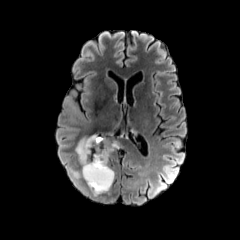
FLAIR MRI.
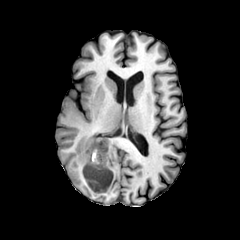
T1-weighted MR image.
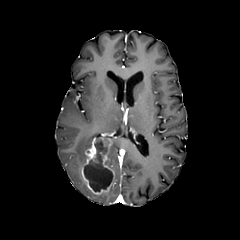
Post-contrast T1-weighted MR of the same slice.
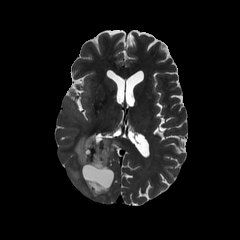
T2-weighted MR image.
240x240 px; Axial plane
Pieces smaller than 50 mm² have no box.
enhancing tumor: bbox=[81, 137, 114, 194] | peritumoral edema: bbox=[108, 142, 118, 159]; bbox=[64, 90, 91, 124]; bbox=[75, 134, 98, 165] | necrotic tumor core: bbox=[84, 138, 113, 191]